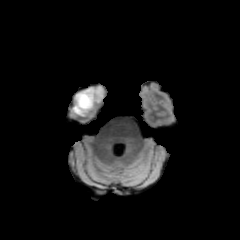
FLAIR magnetic resonance.
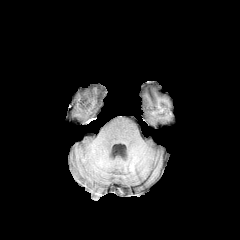
T1-weighted MR image of the same slice.
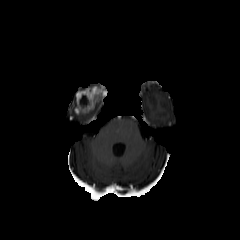
Same slice, post-contrast T1-weighted MR image.
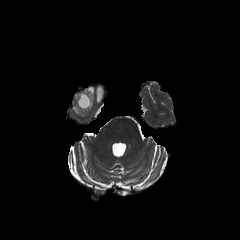
T2-weighted MR image.
Brain
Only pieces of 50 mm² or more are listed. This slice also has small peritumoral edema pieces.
enhancing tumor: 74 86 104 115
necrotic tumor core: 79 95 88 107